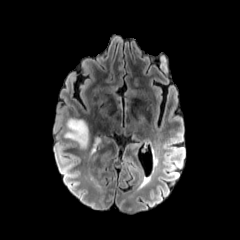
FLAIR MR image.
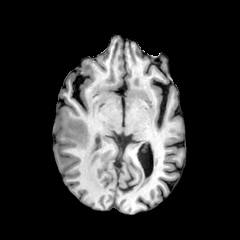
T1-weighted MR image.
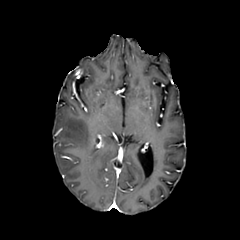
Post-contrast T1-weighted MR image of the same slice.
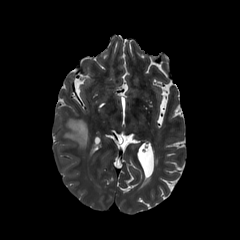
Same slice, T2-weighted magnetic resonance.
peritumoral edema at <bbox>91, 137, 100, 152</bbox>, <bbox>63, 118, 88, 147</bbox>